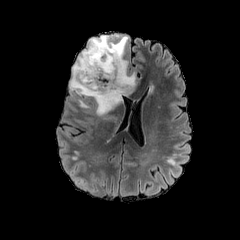
FLAIR magnetic resonance.
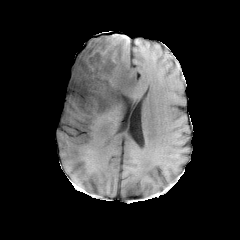
T1-weighted magnetic resonance.
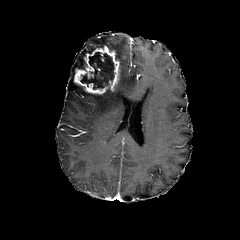
Post-contrast T1-weighted MR.
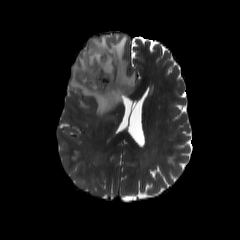
T2-weighted magnetic resonance.
Image size 240x240
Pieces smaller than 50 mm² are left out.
peritumoral_edema:
  - x1=69, y1=35, x2=135, y2=116
enhancing_tumor:
  - x1=73, y1=44, x2=120, y2=94
necrotic_tumor_core:
  - x1=81, y1=52, x2=114, y2=89